FLAIR MR image.
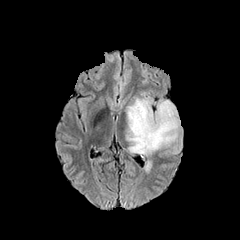
T1-weighted MR.
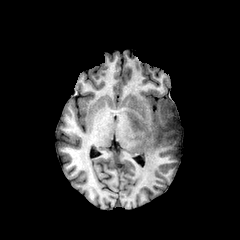
Post-contrast T1-weighted magnetic resonance.
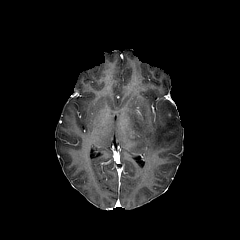
T2-weighted MR.
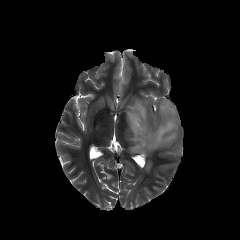
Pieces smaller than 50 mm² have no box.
peritumoral edema: 126,97,180,155